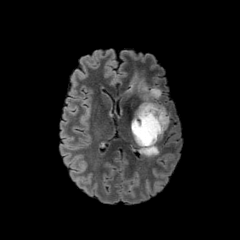
FLAIR MRI.
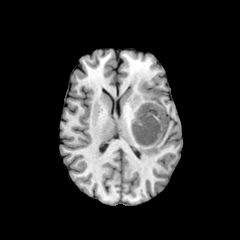
Same slice, T1-weighted MRI.
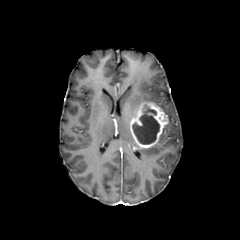
Post-contrast T1-weighted magnetic resonance of the same slice.
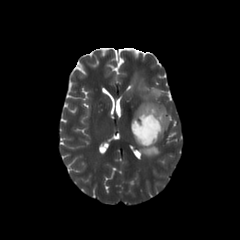
Same slice, T2-weighted MRI.
240x240 px. Axial plane.
necrotic tumor core: (132, 106, 159, 144)
peritumoral edema: (139, 144, 159, 156), (159, 115, 169, 140), (124, 71, 167, 114)
enhancing tumor: (130, 102, 168, 148)